Image width 240 mm, 1.00 mm slice spacing, Slice 56/155, Head, Image size 240x240
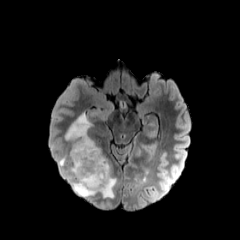
FLAIR magnetic resonance.
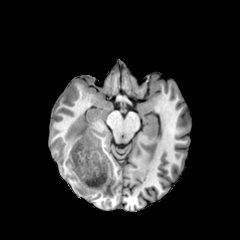
T1-weighted MR image of the same slice.
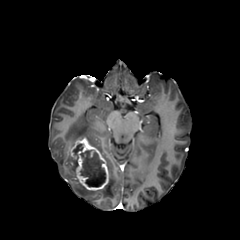
Post-contrast T1-weighted MRI.
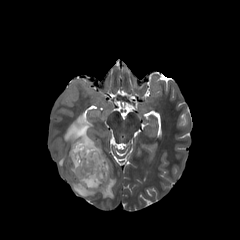
T2-weighted magnetic resonance.
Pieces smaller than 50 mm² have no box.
<segmentation>
  <enhancing_tumor>(left=70, top=137, right=108, bottom=190)</enhancing_tumor>
  <peritumoral_edema>(left=58, top=155, right=66, bottom=166), (left=64, top=112, right=116, bottom=198)</peritumoral_edema>
  <necrotic_tumor_core>(left=80, top=150, right=105, bottom=187), (left=73, top=143, right=83, bottom=158)</necrotic_tumor_core>
</segmentation>